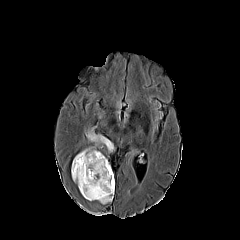
FLAIR magnetic resonance.
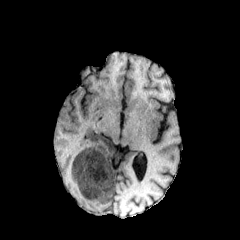
T1-weighted MR.
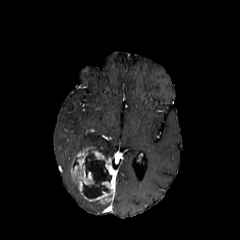
Post-contrast T1-weighted MRI of the same slice.
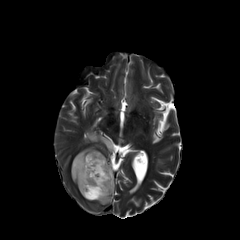
T2-weighted MR image of the same slice.
240x240 px
necrotic tumor core — 73, 149, 111, 198
enhancing tumor — 71, 146, 115, 204
peritumoral edema — 87, 132, 113, 151